FLAIR MR.
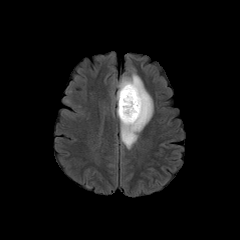
T1-weighted MRI.
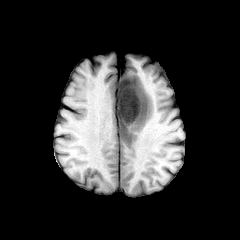
Post-contrast T1-weighted MRI.
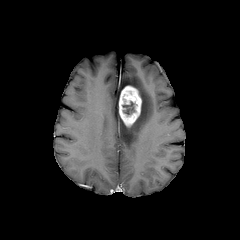
T2-weighted MR.
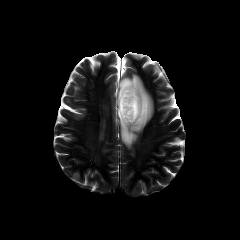
Axial slice.
The necrotic tumor core appears at x1=123, y1=101, x2=134, y2=114. The peritumoral edema lies within x1=117, y1=72, x2=153, y2=149. The enhancing tumor lies within x1=119, y1=85, x2=141, y2=126.